Slice index 57 | Axial slice
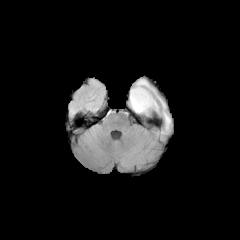
FLAIR MR image.
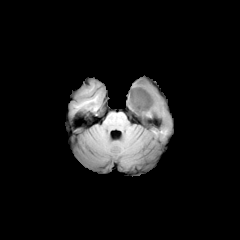
T1-weighted MR image of the same slice.
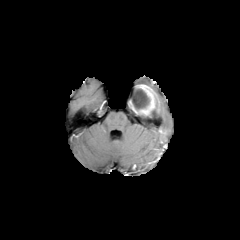
Same slice, post-contrast T1-weighted MRI.
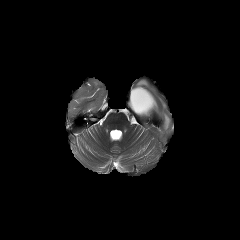
T2-weighted MRI.
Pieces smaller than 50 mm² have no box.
enhancing tumor: bounding box <box>128,84,158,115</box>
peritumoral edema: bounding box <box>136,79,149,86</box>, <box>163,111,170,129</box>
necrotic tumor core: bounding box <box>131,89,149,110</box>